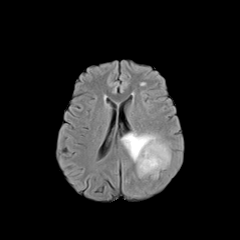
FLAIR magnetic resonance.
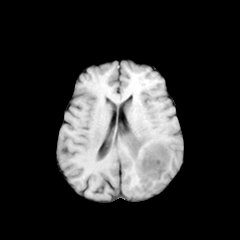
T1-weighted MR of the same slice.
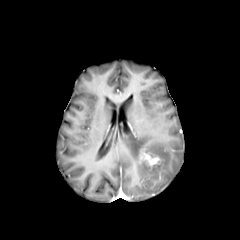
Same slice, post-contrast T1-weighted magnetic resonance.
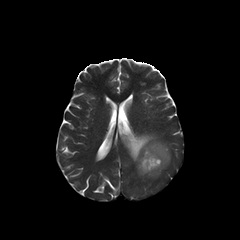
T2-weighted MR image.
Brain. Axial view.
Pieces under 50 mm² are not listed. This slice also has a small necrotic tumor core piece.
peritumoral edema = left=121, top=132, right=170, bottom=177
enhancing tumor = left=140, top=147, right=161, bottom=167